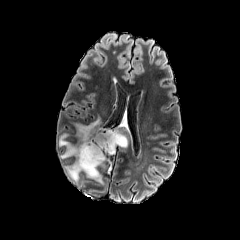
FLAIR MRI.
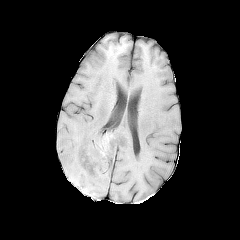
T1-weighted magnetic resonance.
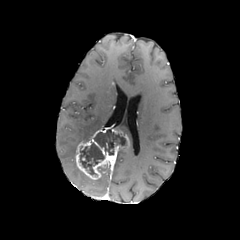
Post-contrast T1-weighted MR.
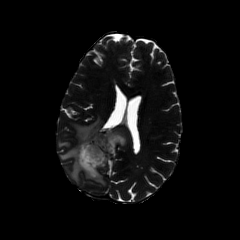
T2-weighted MR.
Head, 240x240 px
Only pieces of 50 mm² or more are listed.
The largest enhancing tumor region lies within bbox(75, 128, 128, 180). The 2 largest necrotic tumor core regions are located at bbox(93, 130, 126, 155); bbox(80, 141, 104, 175). The 2 largest peritumoral edema regions are bounded by bbox(66, 161, 81, 181); bbox(59, 116, 101, 158).